FLAIR MRI.
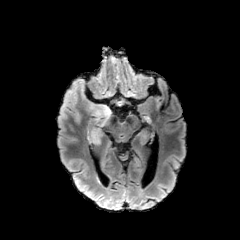
T1-weighted MR image.
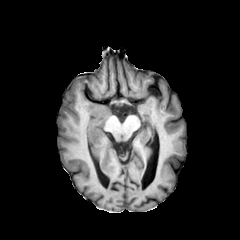
Post-contrast T1-weighted magnetic resonance.
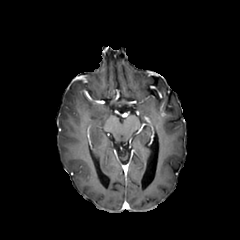
T2-weighted MRI.
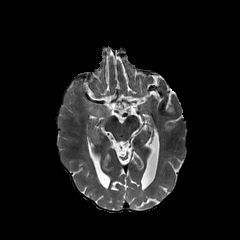
peritumoral edema: [87, 101, 111, 144], [60, 78, 85, 120]